Brain | Axial slice | Slice 54 of 155
FLAIR magnetic resonance.
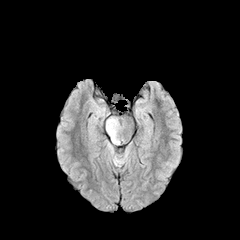
T1-weighted MRI.
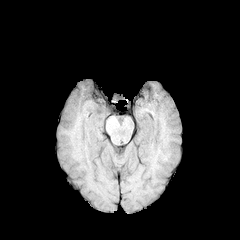
Post-contrast T1-weighted MRI.
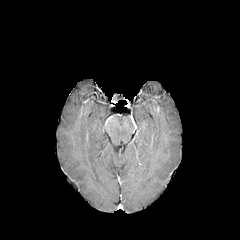
T2-weighted magnetic resonance.
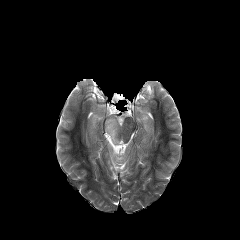
Segmented structures:
• peritumoral edema: [107,142,127,165], [106,118,120,144]